Head. Axial slice.
FLAIR MR image.
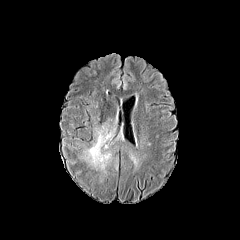
T1-weighted MRI.
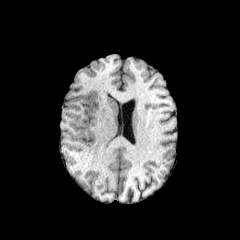
Post-contrast T1-weighted MRI.
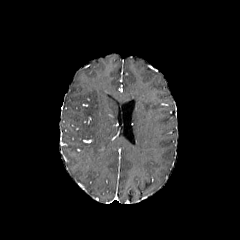
T2-weighted MR.
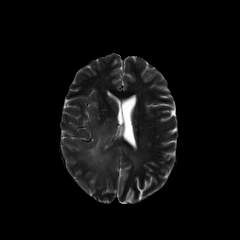
{
  "peritumoral_edema": [
    "<box>84,123,114,171</box>"
  ]
}